FLAIR MR image.
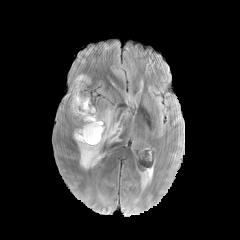
T1-weighted MR image.
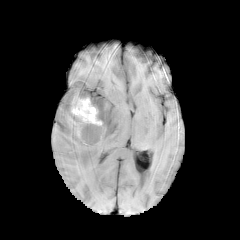
Post-contrast T1-weighted magnetic resonance.
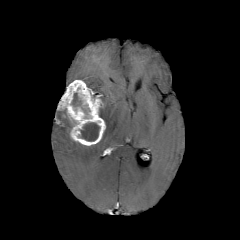
T2-weighted MR image.
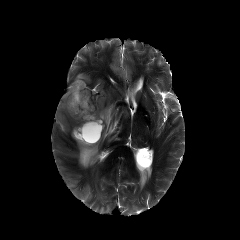
Image size 240x240; Head
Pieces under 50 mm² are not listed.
Findings:
- necrotic tumor core: 80:122:99:141, 72:93:81:106
- enhancing tumor: 58:80:105:145
- peritumoral edema: 77:107:121:169, 75:74:87:82